FLAIR MR image.
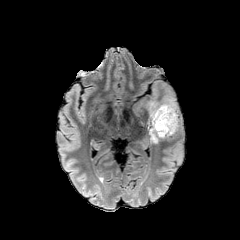
T1-weighted MR.
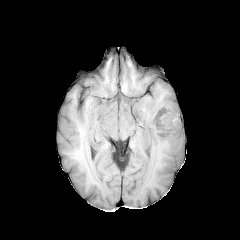
Post-contrast T1-weighted MRI.
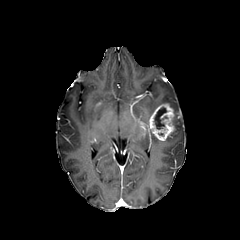
T2-weighted MRI.
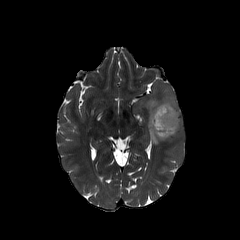
Axial slice; Head
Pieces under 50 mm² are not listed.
necrotic tumor core — <bbox>154, 107, 167, 129</bbox>
enhancing tumor — <bbox>148, 103, 175, 140</bbox>
peritumoral edema — <bbox>146, 90, 181, 139</bbox>, <bbox>148, 131, 159, 143</bbox>